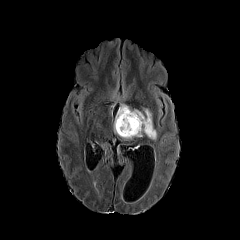
FLAIR MR image.
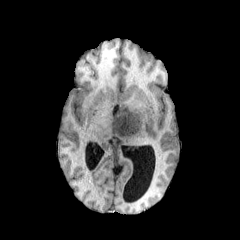
T1-weighted MRI of the same slice.
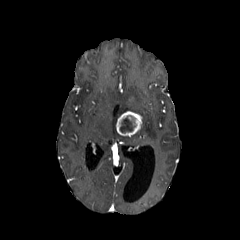
Same slice, post-contrast T1-weighted magnetic resonance.
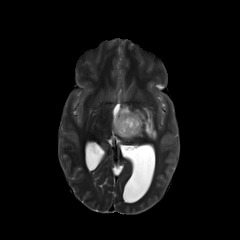
Same slice, T2-weighted MR image.
Axial view. Brain.
necrotic tumor core = (120,115,137,132)
peritumoral edema = (113,104,156,140)
enhancing tumor = (116,111,142,136)